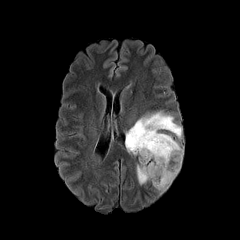
FLAIR MR.
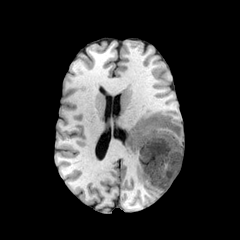
Same slice, T1-weighted MRI.
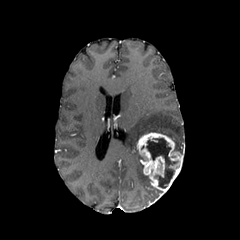
Post-contrast T1-weighted MR image.
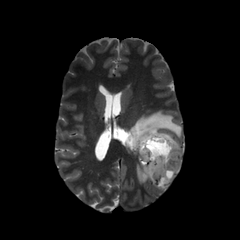
Same slice, T2-weighted MR.
240x240
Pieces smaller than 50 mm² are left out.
The 3 largest peritumoral edema regions are located at 125:111:182:155, 136:162:149:184, 174:140:183:153. The largest necrotic tumor core region is bounded by 146:138:176:188. The enhancing tumor is at 136:132:183:193.